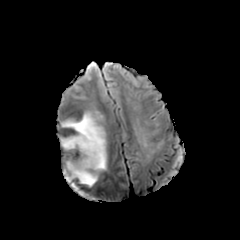
FLAIR MRI.
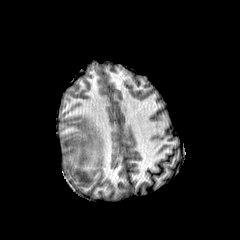
T1-weighted MRI.
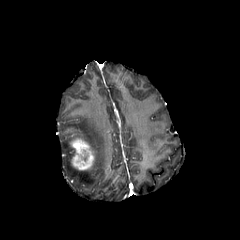
Post-contrast T1-weighted magnetic resonance.
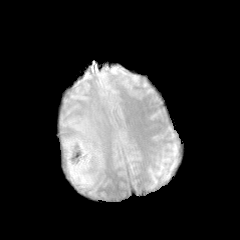
T2-weighted MRI.
Brain. 240x240 px.
The peritumoral edema is at bbox(61, 110, 107, 187). The enhancing tumor appears at bbox(69, 138, 94, 170). The necrotic tumor core is bounded by bbox(67, 145, 75, 159).